FLAIR MR image.
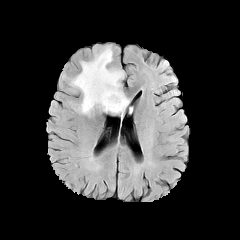
T1-weighted MR.
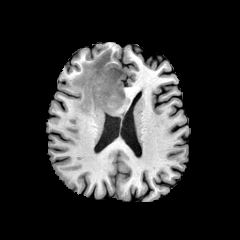
Post-contrast T1-weighted MR.
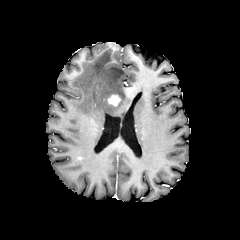
T2-weighted MRI.
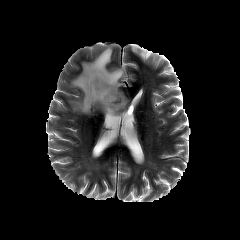
Brain | Axial view
<segmentation>
  <enhancing_tumor>l=108, t=95, r=120, b=105</enhancing_tumor>
  <peritumoral_edema>l=71, t=46, r=129, b=115</peritumoral_edema>
</segmentation>